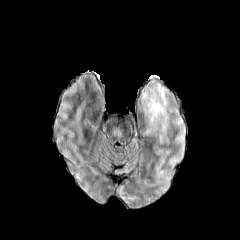
FLAIR magnetic resonance.
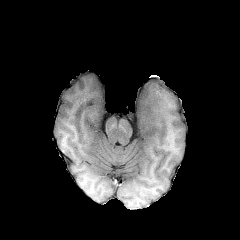
T1-weighted MR image.
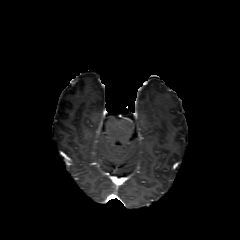
Post-contrast T1-weighted MRI of the same slice.
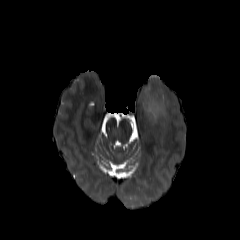
T2-weighted MR.
Brain. 240x240 px. Axial view.
The peritumoral edema is bounded by (143, 87, 167, 124).